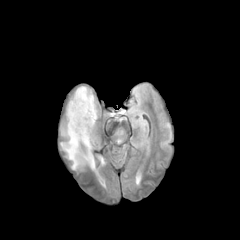
FLAIR MR image.
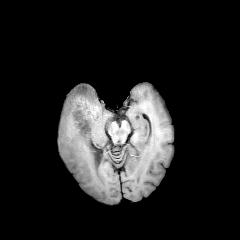
T1-weighted MR image.
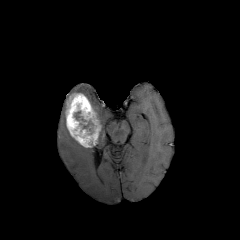
Post-contrast T1-weighted MRI.
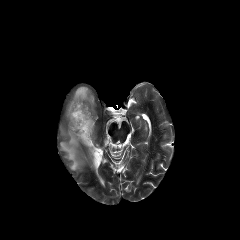
T2-weighted magnetic resonance.
Head; Image size 240x240; Axial view
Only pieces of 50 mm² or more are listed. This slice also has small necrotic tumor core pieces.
Annotated regions:
• enhancing tumor: x1=66 y1=93 x2=99 y2=147
• peritumoral edema: x1=60 y1=126 x2=94 y2=169, x1=75 y1=86 x2=96 y2=115